240x240 px
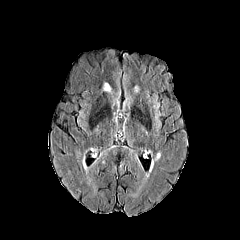
FLAIR MR image.
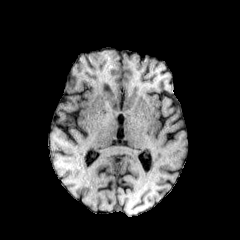
Same slice, T1-weighted MR.
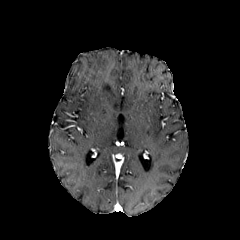
Post-contrast T1-weighted MR image of the same slice.
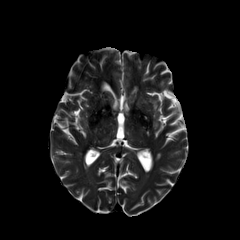
T2-weighted magnetic resonance.
peritumoral_edema:
  - (102, 83, 110, 91)